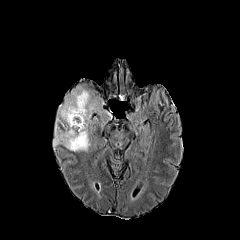
FLAIR magnetic resonance.
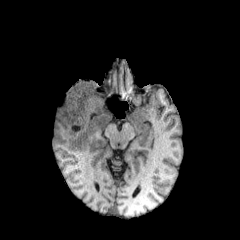
Same slice, T1-weighted MRI.
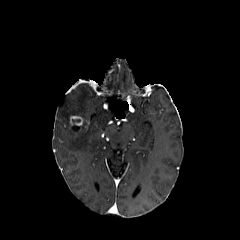
Post-contrast T1-weighted magnetic resonance.
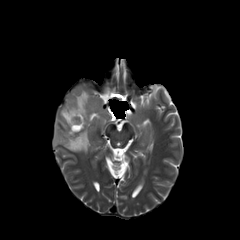
T2-weighted magnetic resonance of the same slice.
Image size 240x240
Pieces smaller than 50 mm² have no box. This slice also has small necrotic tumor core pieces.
enhancing tumor = <box>70,116,83,125</box>
peritumoral edema = <box>53,84,112,151</box>